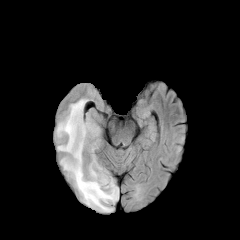
FLAIR MRI.
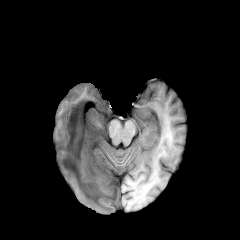
T1-weighted magnetic resonance.
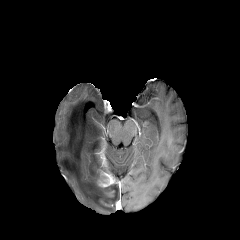
Same slice, post-contrast T1-weighted MR image.
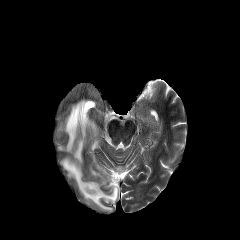
T2-weighted MR.
Brain
enhancing_tumor:
  - (x1=98, y1=160, x2=117, y2=187)
peritumoral_edema:
  - (x1=56, y1=98, x2=118, y2=212)